FLAIR MR.
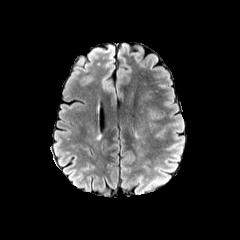
T1-weighted magnetic resonance.
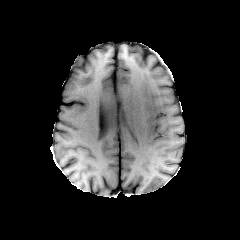
Post-contrast T1-weighted MR.
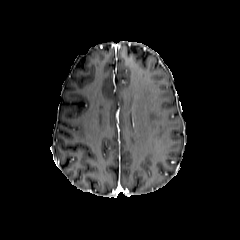
T2-weighted magnetic resonance.
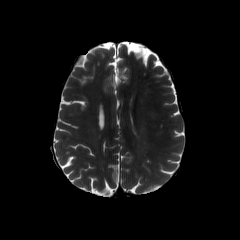
peritumoral edema — left=148, top=108, right=158, bottom=119